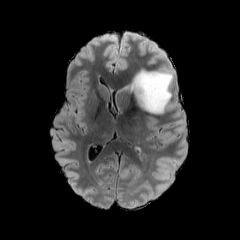
FLAIR MR.
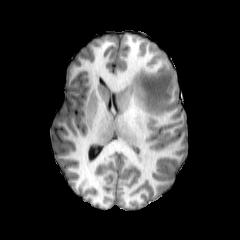
T1-weighted MRI.
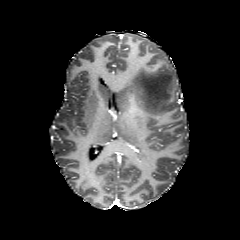
Same slice, post-contrast T1-weighted MRI.
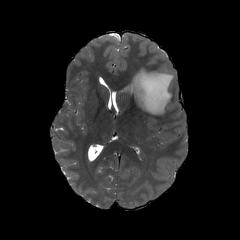
T2-weighted magnetic resonance.
Head | Image size 240x240
peritumoral edema — box(124, 68, 174, 114)